Axial plane. Brain. 240x240. Slice 88/155.
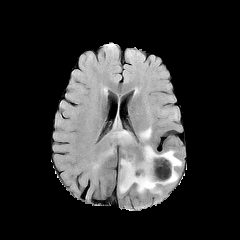
FLAIR MRI.
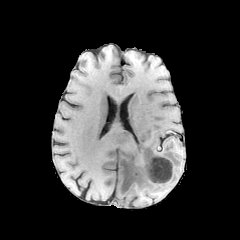
T1-weighted MR image of the same slice.
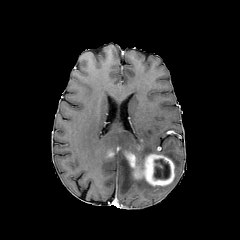
Same slice, post-contrast T1-weighted MR image.
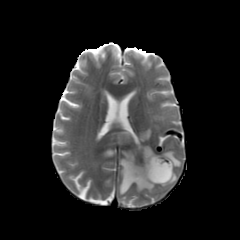
T2-weighted MR image of the same slice.
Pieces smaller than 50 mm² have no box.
Annotated regions:
• enhancing tumor: [x1=123, y1=150, x2=174, y2=185], [x1=107, y1=150, x2=117, y2=158]
• necrotic tumor core: [x1=154, y1=159, x2=170, y2=179]
• peritumoral edema: [x1=142, y1=145, x2=155, y2=157], [x1=119, y1=157, x2=160, y2=193], [x1=113, y1=130, x2=135, y2=142], [x1=139, y1=127, x2=151, y2=140], [x1=157, y1=150, x2=182, y2=167]